Axial plane. Image size 240x240. Image width 240 mm, 1.00 mm slice spacing.
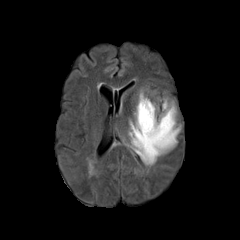
FLAIR MR image.
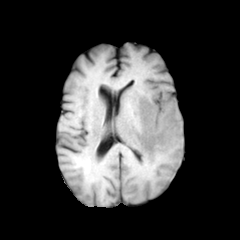
Same slice, T1-weighted MR image.
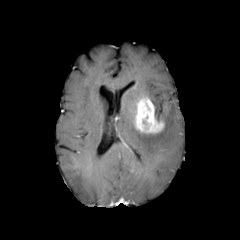
Post-contrast T1-weighted MR image.
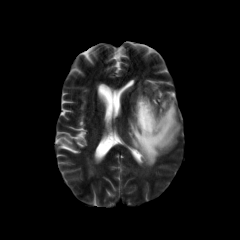
T2-weighted magnetic resonance.
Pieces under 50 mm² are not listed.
enhancing tumor: bounding box rect(134, 97, 164, 133)
peritumoral edema: bounding box rect(136, 88, 147, 101); rect(128, 99, 180, 166)